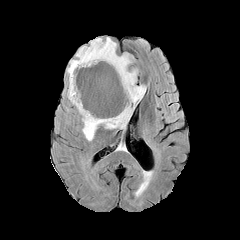
FLAIR MR.
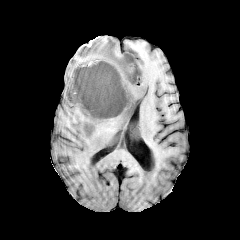
T1-weighted MRI.
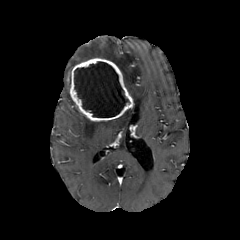
Post-contrast T1-weighted magnetic resonance of the same slice.
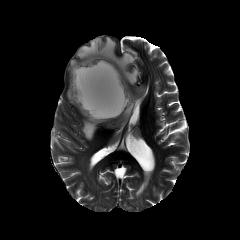
T2-weighted MR of the same slice.
Head
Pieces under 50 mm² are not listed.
Segmented structures:
* necrotic tumor core: <box>74,62,128,117</box>
* peritumoral edema: <box>67,37,146,140</box>
* enhancing tumor: <box>69,58,134,121</box>